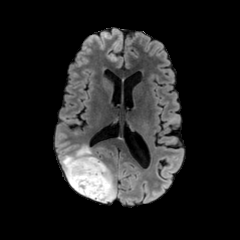
FLAIR MRI.
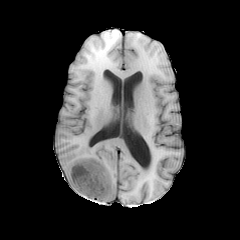
T1-weighted MR of the same slice.
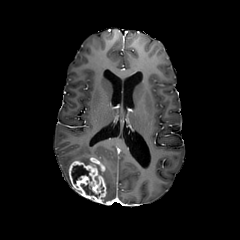
Post-contrast T1-weighted MRI of the same slice.
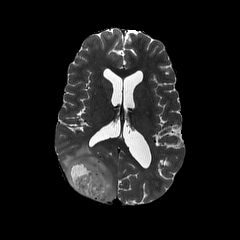
T2-weighted MRI of the same slice.
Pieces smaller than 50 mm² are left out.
enhancing tumor: bbox=[69, 157, 106, 202] | peritumoral edema: bbox=[62, 144, 116, 203] | necrotic tumor core: bbox=[71, 165, 91, 183]; bbox=[81, 184, 100, 197]